Image covers 240 mm x 240 mm | Axial view | Head
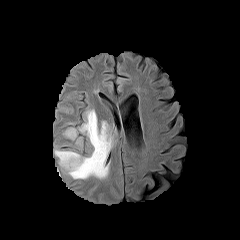
FLAIR MR.
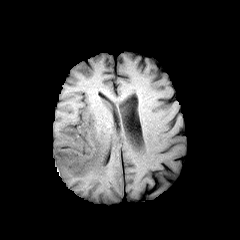
T1-weighted MRI.
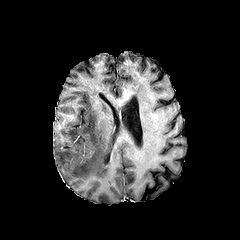
Post-contrast T1-weighted MR image of the same slice.
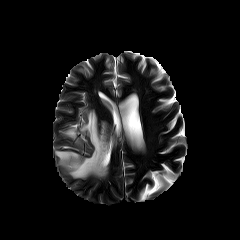
T2-weighted MRI of the same slice.
• peritumoral edema: 76:137:82:146, 63:127:77:139, 54:109:114:179